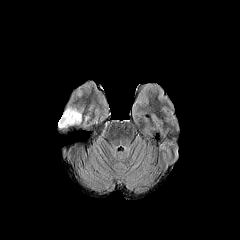
FLAIR MR.
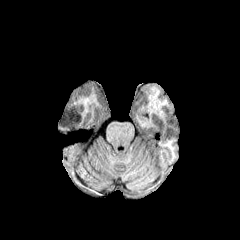
T1-weighted MR of the same slice.
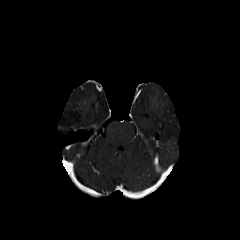
Same slice, post-contrast T1-weighted MR.
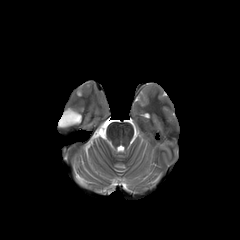
T2-weighted MRI.
Head
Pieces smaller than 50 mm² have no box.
The largest peritumoral edema region appears at (left=58, top=107, right=81, bottom=128).